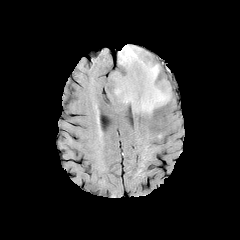
FLAIR MR image.
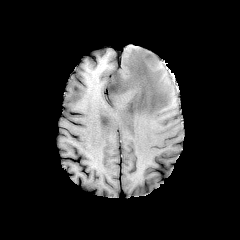
T1-weighted MR of the same slice.
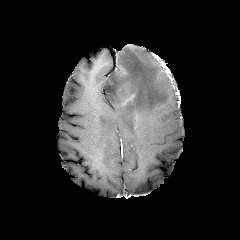
Post-contrast T1-weighted MR image of the same slice.
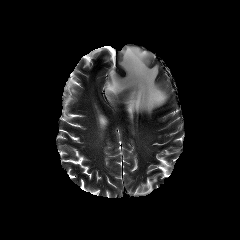
T2-weighted MR image.
240x240 px
peritumoral edema: 107 45 170 114